240x240 px, Brain, Axial plane
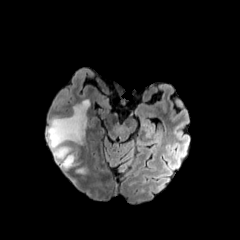
FLAIR MRI.
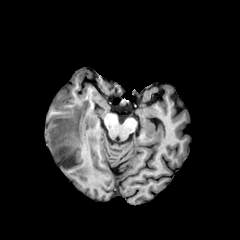
T1-weighted magnetic resonance.
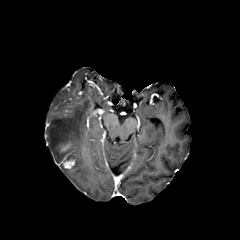
Same slice, post-contrast T1-weighted MR image.
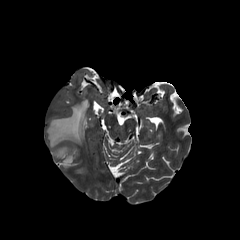
T2-weighted MR.
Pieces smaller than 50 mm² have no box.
{"enhancing_tumor": ["<bbox>60, 145, 69, 153</bbox>", "<bbox>61, 154, 74, 168</bbox>"], "peritumoral_edema": ["<bbox>47, 100, 89, 161</bbox>"]}